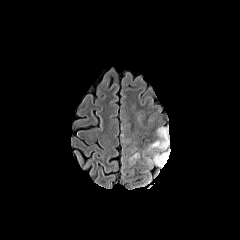
FLAIR MR image.
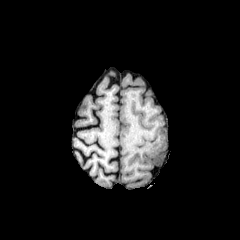
T1-weighted MR.
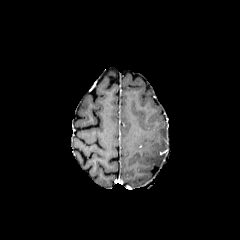
Post-contrast T1-weighted MR of the same slice.
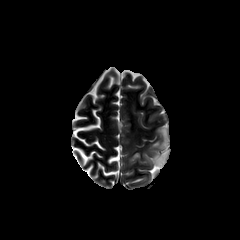
T2-weighted MRI.
Axial slice; 240x240 px
Segmented structures:
* peritumoral edema: (121, 152, 141, 164), (143, 126, 169, 169)